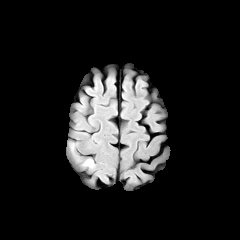
FLAIR MR image.
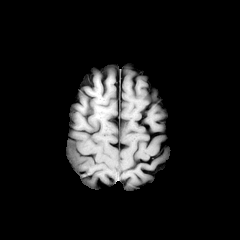
T1-weighted MR image of the same slice.
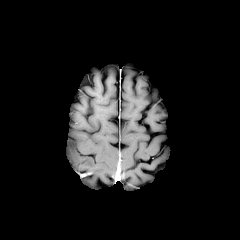
Same slice, post-contrast T1-weighted MR.
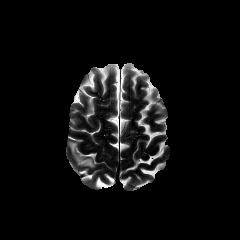
Same slice, T2-weighted MRI.
Head; Axial slice
Segmented structures:
* peritumoral edema: left=69, top=143, right=94, bottom=167